FLAIR MR.
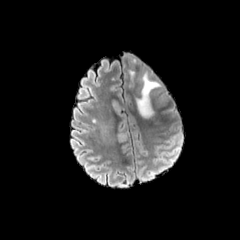
T1-weighted magnetic resonance.
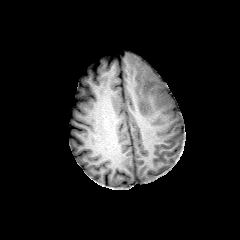
Post-contrast T1-weighted magnetic resonance.
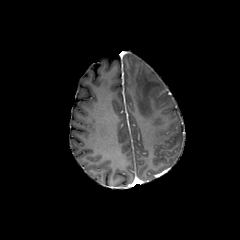
T2-weighted magnetic resonance.
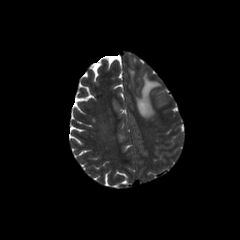
Brain
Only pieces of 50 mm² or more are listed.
<segmentation>
  <peritumoral_edema>box(136, 73, 161, 118)</peritumoral_edema>
</segmentation>